Axial slice
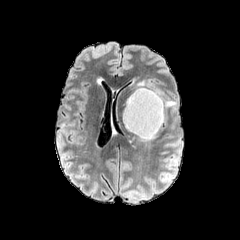
FLAIR MRI.
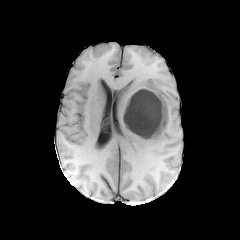
T1-weighted MRI.
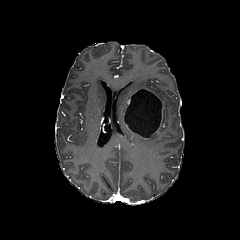
Post-contrast T1-weighted MR.
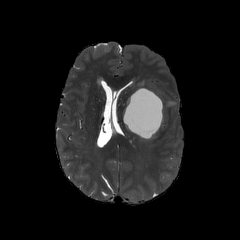
T2-weighted MR.
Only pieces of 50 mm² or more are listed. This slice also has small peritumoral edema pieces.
enhancing_tumor:
  - (left=126, top=88, right=163, bottom=133)
necrotic_tumor_core:
  - (left=124, top=89, right=161, bottom=137)